FLAIR MRI.
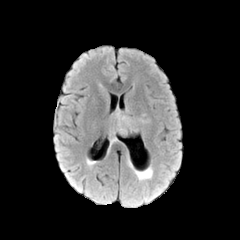
T1-weighted MR image.
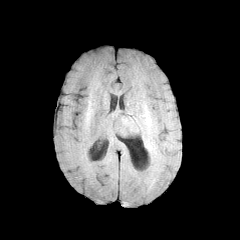
Post-contrast T1-weighted MRI.
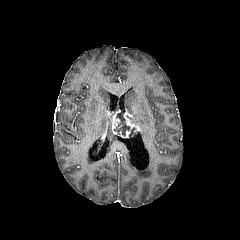
T2-weighted MR.
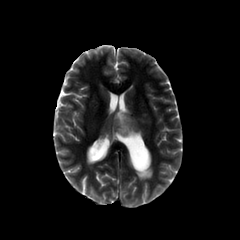
Axial slice
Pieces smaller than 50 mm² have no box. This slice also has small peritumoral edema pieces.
{"necrotic_tumor_core": ["114, 111, 130, 134"], "enhancing_tumor": ["112, 110, 120, 134", "124, 109, 139, 131"]}